FLAIR magnetic resonance.
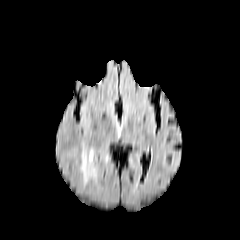
T1-weighted magnetic resonance.
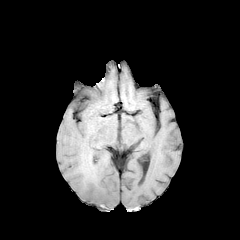
Post-contrast T1-weighted magnetic resonance.
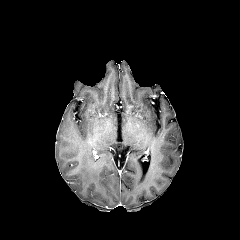
T2-weighted MR image.
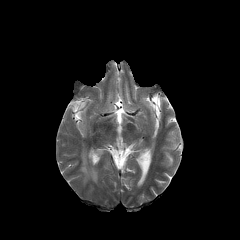
Axial plane.
The peritumoral edema is at bbox(81, 150, 105, 182).